Image width 240 mm, 1.00 mm slice spacing. Axial view.
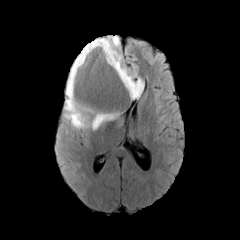
FLAIR MR.
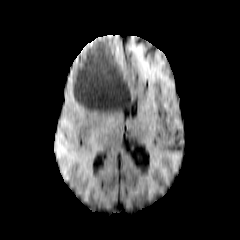
T1-weighted MR image.
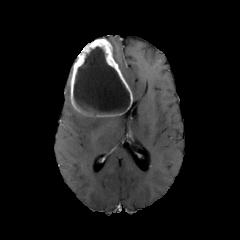
Same slice, post-contrast T1-weighted MRI.
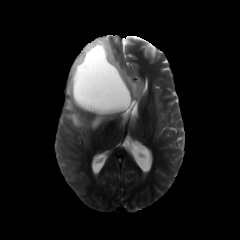
T2-weighted MR of the same slice.
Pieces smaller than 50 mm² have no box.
enhancing tumor at rect(69, 37, 133, 117)
peritumoral edema at rect(104, 36, 143, 99); rect(63, 78, 117, 129)
necrotic tumor core at rect(74, 47, 130, 113)